FLAIR MRI.
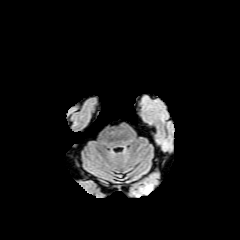
T1-weighted MRI.
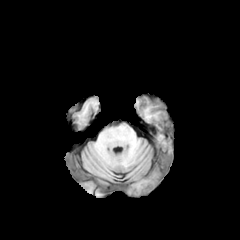
Post-contrast T1-weighted MR image.
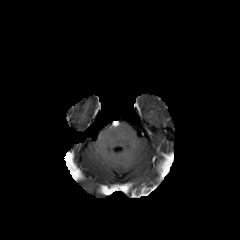
T2-weighted MR image.
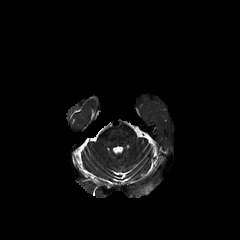
Image size 240x240; Head; Axial plane
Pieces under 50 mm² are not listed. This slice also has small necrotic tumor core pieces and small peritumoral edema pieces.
enhancing tumor: bbox=[132, 185, 154, 197]